FLAIR MRI.
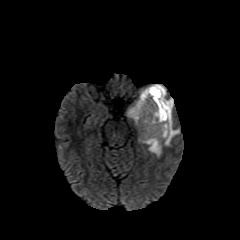
T1-weighted MRI.
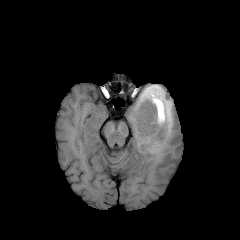
Post-contrast T1-weighted magnetic resonance.
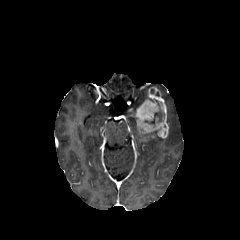
T2-weighted magnetic resonance.
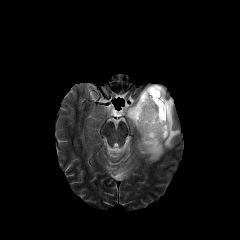
Head
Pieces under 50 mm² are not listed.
necrotic_tumor_core:
  - 145, 100, 163, 124
peritumoral_edema:
  - 127, 84, 180, 157
enhancing_tumor:
  - 131, 87, 168, 138